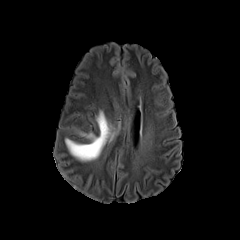
FLAIR MR.
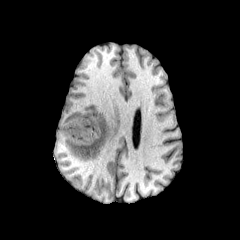
Same slice, T1-weighted magnetic resonance.
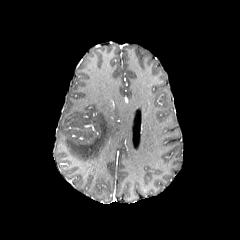
Same slice, post-contrast T1-weighted MR.
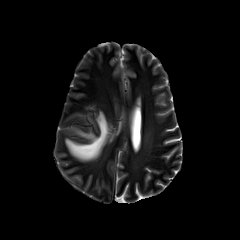
T2-weighted MR.
Axial plane
peritumoral edema: {"x1": 65, "y1": 111, "x2": 113, "y2": 161}